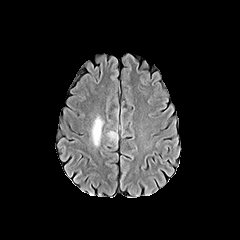
FLAIR magnetic resonance.
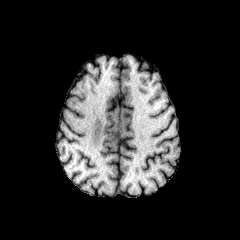
T1-weighted magnetic resonance of the same slice.
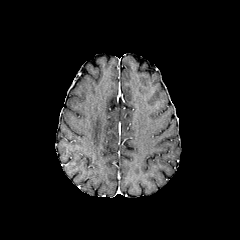
Same slice, post-contrast T1-weighted magnetic resonance.
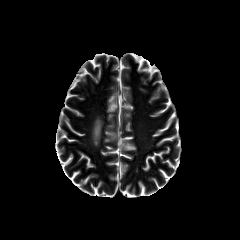
Same slice, T2-weighted MRI.
Brain
- peritumoral edema: bbox=[108, 131, 117, 141]; bbox=[91, 116, 103, 146]